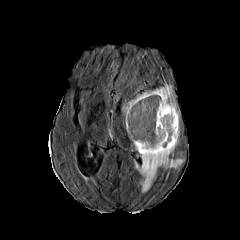
FLAIR MR image.
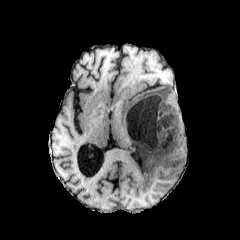
T1-weighted MR image of the same slice.
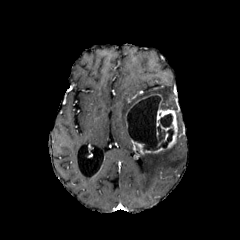
Post-contrast T1-weighted magnetic resonance.
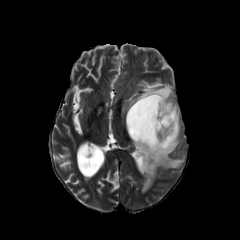
Same slice, T2-weighted MRI.
Axial plane, Head
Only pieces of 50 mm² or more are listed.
The peritumoral edema is bounded by 122 84 184 192. The largest enhancing tumor region is located at 130 94 177 154. The largest necrotic tumor core region is at 127 95 173 150.